FLAIR magnetic resonance.
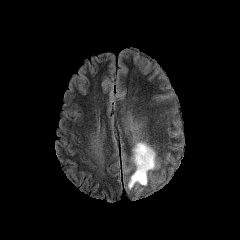
T1-weighted magnetic resonance.
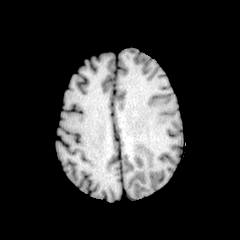
Post-contrast T1-weighted MR image.
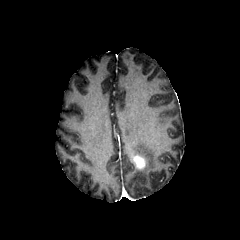
T2-weighted MR.
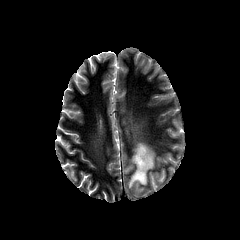
Axial view. Brain.
The enhancing tumor lies within bbox(132, 155, 145, 169). The peritumoral edema is bounded by bbox(128, 142, 155, 188).